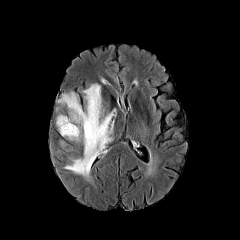
FLAIR MR.
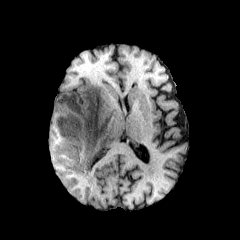
T1-weighted MR.
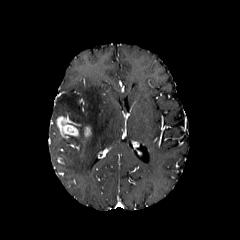
Post-contrast T1-weighted magnetic resonance of the same slice.
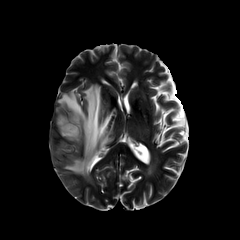
T2-weighted MRI of the same slice.
Axial plane; Brain
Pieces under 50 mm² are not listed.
enhancing tumor: {"x1": 56, "y1": 116, "x2": 79, "y2": 137}, {"x1": 84, "y1": 126, "x2": 91, "y2": 138} | peritumoral edema: {"x1": 56, "y1": 84, "x2": 116, "y2": 179}